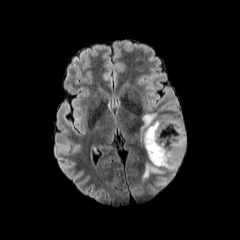
FLAIR magnetic resonance.
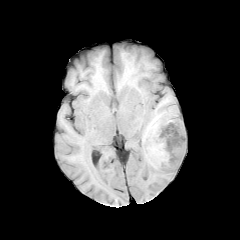
T1-weighted MR image.
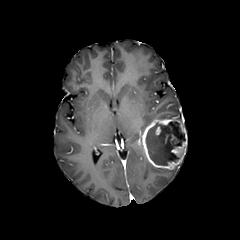
Same slice, post-contrast T1-weighted MR.
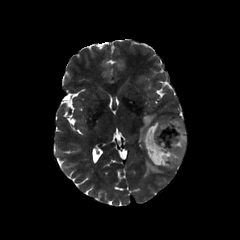
T2-weighted MRI.
Axial view
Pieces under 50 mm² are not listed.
peritumoral_edema:
  - [142, 162, 178, 177]
  - [140, 113, 173, 134]
necrotic_tumor_core:
  - [146, 121, 185, 165]
enhancing_tumor:
  - [141, 117, 187, 169]